Image width 240 mm. 240x240.
FLAIR MR.
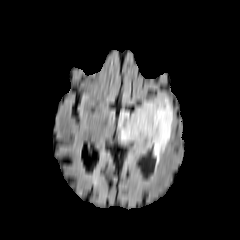
T1-weighted magnetic resonance.
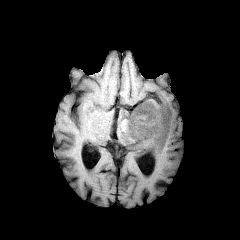
Post-contrast T1-weighted magnetic resonance.
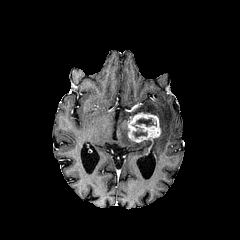
T2-weighted magnetic resonance.
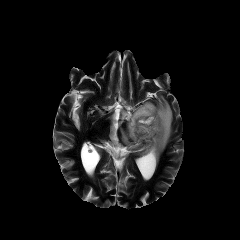
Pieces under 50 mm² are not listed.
peritumoral edema: bounding box 119,96,173,163
enhancing tumor: bounding box 128,112,160,142
necrotic tumor core: bounding box 134,130,146,137; 136,118,153,126